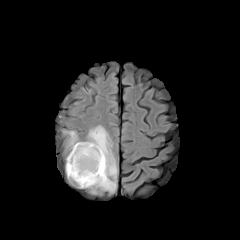
FLAIR MR.
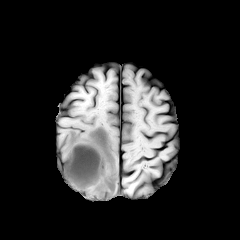
T1-weighted MRI.
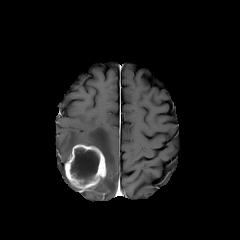
Post-contrast T1-weighted MRI.
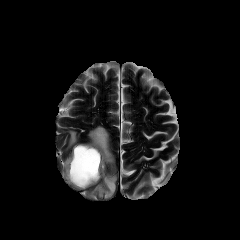
T2-weighted MR of the same slice.
Axial plane, Head, 240x240
The peritumoral edema appears at 66:125:117:194. The enhancing tumor is at 65:144:106:189. The necrotic tumor core is bounded by 70:148:99:184.